FLAIR magnetic resonance.
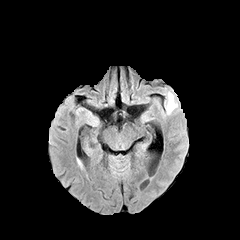
T1-weighted magnetic resonance.
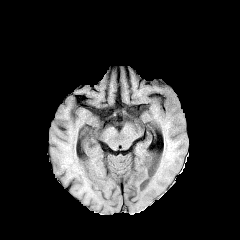
Post-contrast T1-weighted MR image.
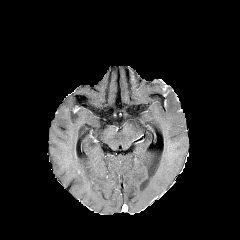
T2-weighted MRI.
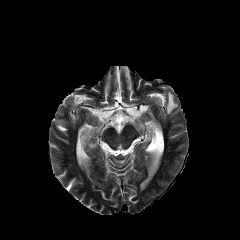
Axial plane, Brain
peritumoral edema — 165,91,177,114